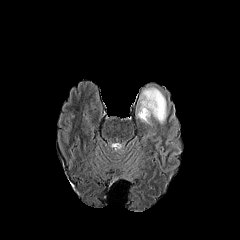
FLAIR MRI.
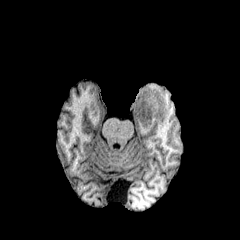
T1-weighted MR image.
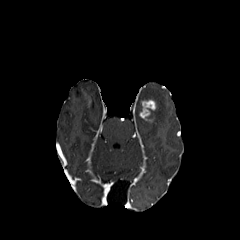
Post-contrast T1-weighted MR image.
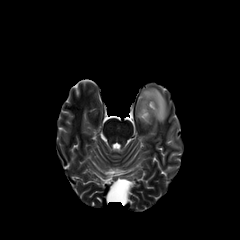
Same slice, T2-weighted MR image.
240x240 px
The enhancing tumor is located at l=139, t=100, r=156, b=120. The peritumoral edema lies within l=136, t=85, r=169, b=125.